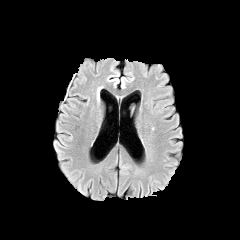
FLAIR MR image.
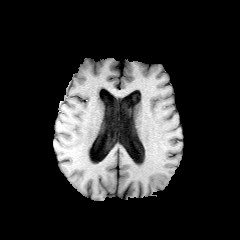
Same slice, T1-weighted MR image.
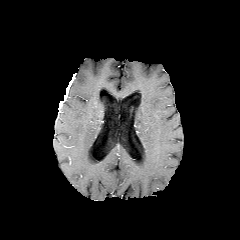
Post-contrast T1-weighted MR.
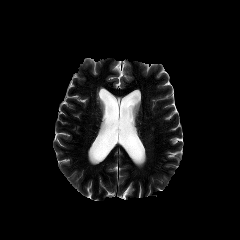
T2-weighted MR.
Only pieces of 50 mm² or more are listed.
{
  "enhancing_tumor": [
    "region(59, 80, 71, 107)"
  ]
}